Axial slice
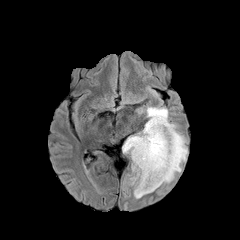
FLAIR MR image.
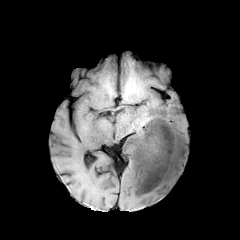
T1-weighted MR of the same slice.
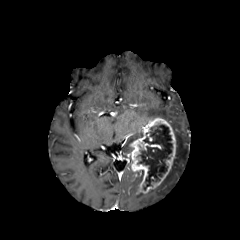
Post-contrast T1-weighted magnetic resonance of the same slice.
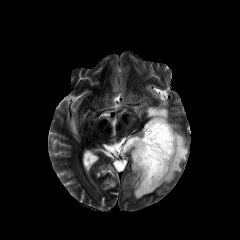
T2-weighted MRI.
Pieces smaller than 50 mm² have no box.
<segmentation>
  <necrotic_tumor_core>139 125 172 189</necrotic_tumor_core>
  <enhancing_tumor>129 117 176 194</enhancing_tumor>
  <peritumoral_edema>122 132 142 153, 146 107 168 121, 124 170 146 198, 161 123 187 184</peritumoral_edema>
</segmentation>